FLAIR magnetic resonance.
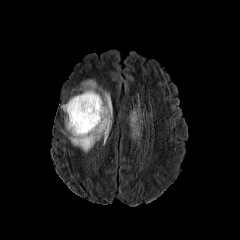
T1-weighted MRI.
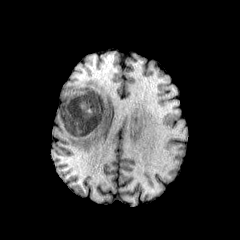
Post-contrast T1-weighted MR.
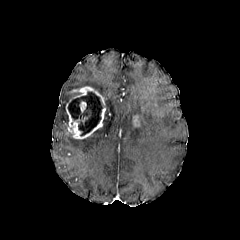
T2-weighted MRI.
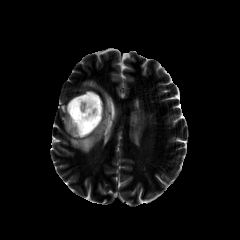
Head. Axial plane. 240x240.
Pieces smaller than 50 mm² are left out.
<segmentation>
  <peritumoral_edema>left=69, top=80, right=112, bottom=152; left=130, top=108, right=142, bottom=139</peritumoral_edema>
  <necrotic_tumor_core>left=68, top=92, right=102, bottom=135</necrotic_tumor_core>
  <enhancing_tumor>left=80, top=101, right=86, bottom=112; left=132, top=115, right=140, bottom=127; left=65, top=86, right=105, bottom=139</enhancing_tumor>
</segmentation>